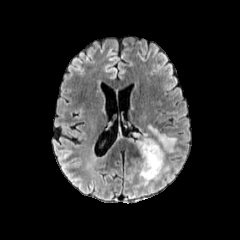
FLAIR magnetic resonance.
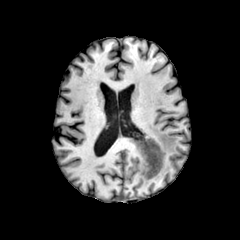
T1-weighted MR image of the same slice.
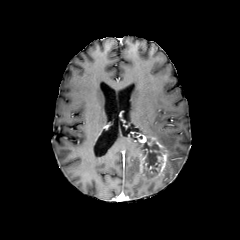
Post-contrast T1-weighted magnetic resonance.
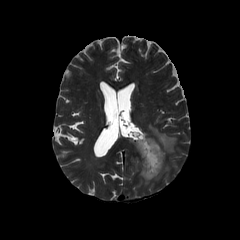
T2-weighted MR.
Axial view; Head
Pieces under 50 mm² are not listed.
• enhancing tumor: bbox=[137, 134, 168, 177]
• peritumoral edema: bbox=[139, 173, 160, 185]; bbox=[148, 125, 177, 153]
• necrotic tumor core: bbox=[141, 142, 161, 175]